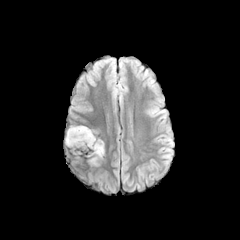
FLAIR magnetic resonance.
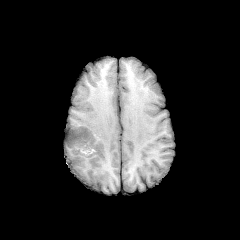
T1-weighted MRI of the same slice.
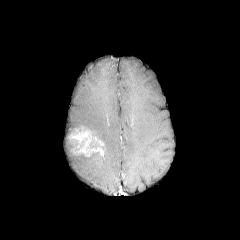
Post-contrast T1-weighted magnetic resonance.
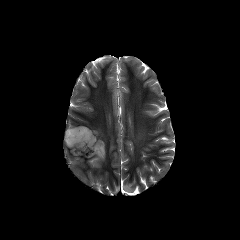
T2-weighted MRI.
Head
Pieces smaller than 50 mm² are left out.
<segmentation>
  <enhancing_tumor>67,126,104,157</enhancing_tumor>
  <peritumoral_edema>89,153,102,165</peritumoral_edema>
</segmentation>